FLAIR MRI.
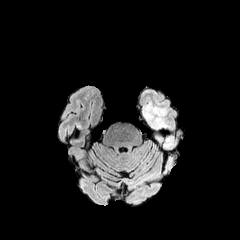
T1-weighted magnetic resonance.
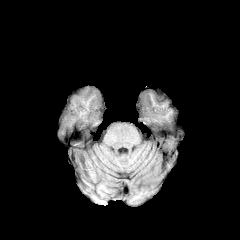
Post-contrast T1-weighted MR image.
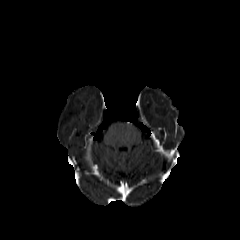
T2-weighted MR.
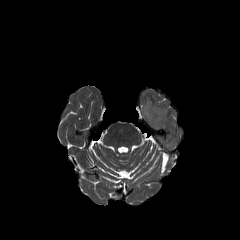
Brain. Axial view.
<segmentation>
  <peritumoral_edema>[154, 134, 176, 148], [143, 102, 166, 129]</peritumoral_edema>
</segmentation>